240x240 px
FLAIR MR image.
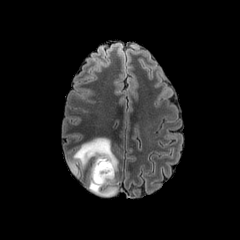
T1-weighted MR image.
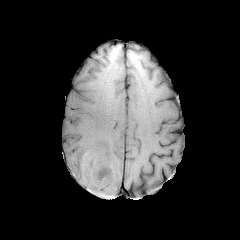
Post-contrast T1-weighted MR image.
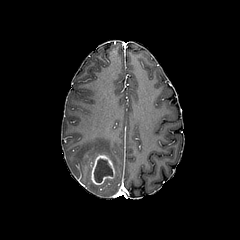
T2-weighted MR image.
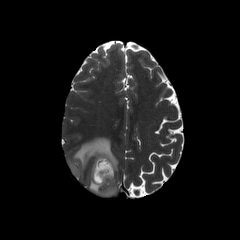
The necrotic tumor core is located at bbox(94, 159, 112, 182). The peritumoral edema appears at bbox(68, 137, 118, 196). The enhancing tumor is located at bbox(83, 154, 115, 185).